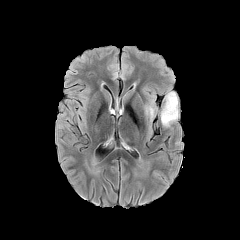
FLAIR magnetic resonance.
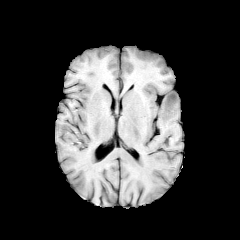
Same slice, T1-weighted MR image.
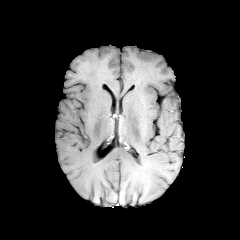
Post-contrast T1-weighted magnetic resonance of the same slice.
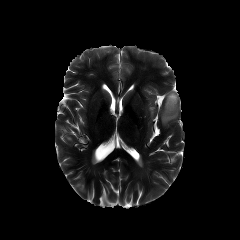
T2-weighted magnetic resonance.
Axial plane
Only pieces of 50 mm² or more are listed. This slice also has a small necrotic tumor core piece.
• peritumoral edema: box(145, 100, 155, 121); box(160, 91, 178, 127)